Head, Axial view
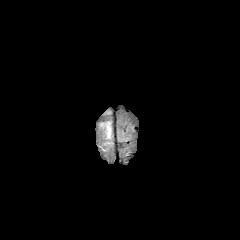
FLAIR MRI.
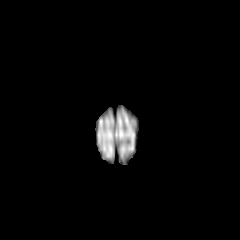
Same slice, T1-weighted MRI.
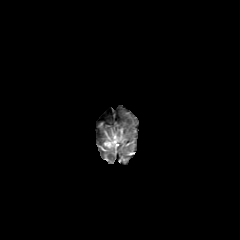
Post-contrast T1-weighted MR of the same slice.
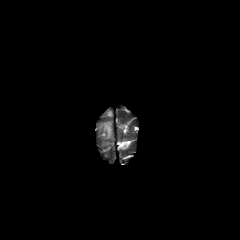
T2-weighted magnetic resonance.
The peritumoral edema lies within {"x1": 106, "y1": 123, "x2": 110, "y2": 137}.